FLAIR magnetic resonance.
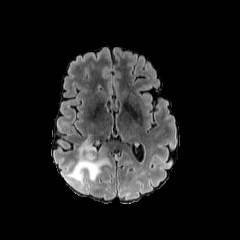
T1-weighted MR image.
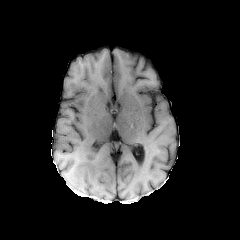
Post-contrast T1-weighted MRI.
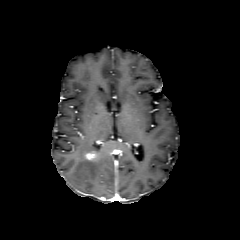
T2-weighted MR.
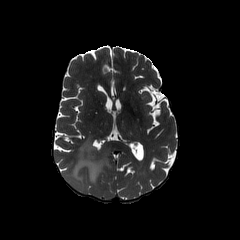
Axial slice. 240x240.
The peritumoral edema is at bbox=[69, 137, 109, 183]. The enhancing tumor is at bbox=[86, 153, 95, 159].